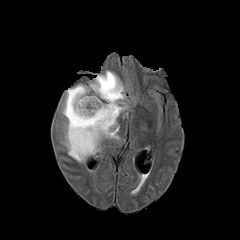
FLAIR MRI.
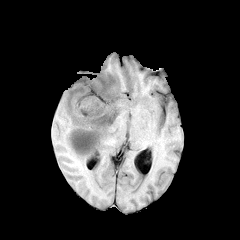
Same slice, T1-weighted magnetic resonance.
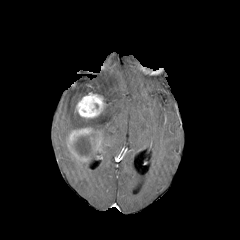
Post-contrast T1-weighted MR image.
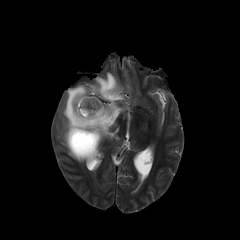
T2-weighted MR image.
Image size 240x240
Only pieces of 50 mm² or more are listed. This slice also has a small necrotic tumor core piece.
Findings:
- peritumoral edema: (62, 71, 128, 162)
- enhancing tumor: (67, 127, 102, 160), (75, 92, 105, 118)